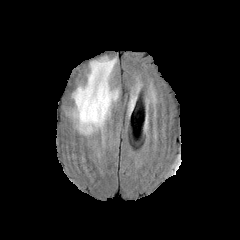
FLAIR MRI.
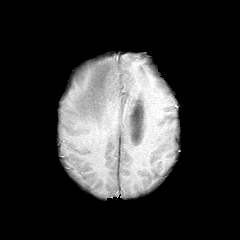
T1-weighted MRI.
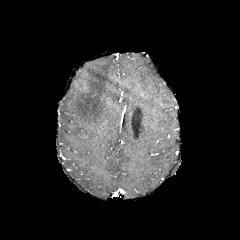
Post-contrast T1-weighted MR image.
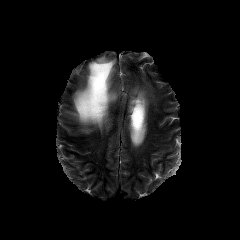
T2-weighted MRI.
Head
peritumoral edema at bbox(129, 96, 136, 112); bbox(72, 58, 118, 134)